Image covers 240 mm x 240 mm | Axial view
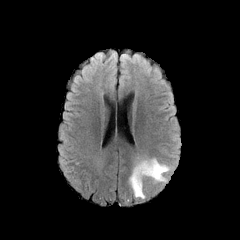
FLAIR magnetic resonance.
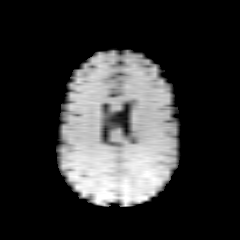
Same slice, T1-weighted MR image.
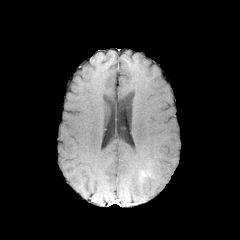
Post-contrast T1-weighted magnetic resonance.
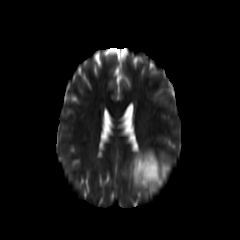
Same slice, T2-weighted magnetic resonance.
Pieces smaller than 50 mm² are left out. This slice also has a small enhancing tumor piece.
Findings:
• peritumoral edema: 129 158 170 198